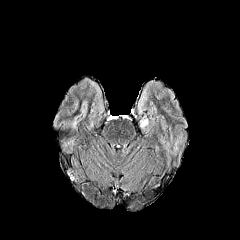
FLAIR MR.
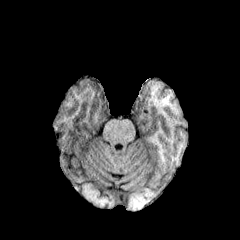
T1-weighted MR of the same slice.
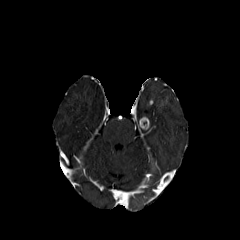
Post-contrast T1-weighted MRI.
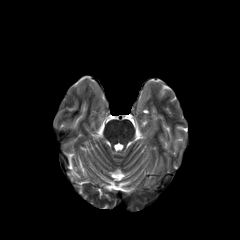
T2-weighted magnetic resonance of the same slice.
Head. Axial slice.
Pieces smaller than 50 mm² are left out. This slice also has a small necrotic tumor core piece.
Segmented structures:
- enhancing tumor: [x1=139, y1=116, x2=149, y2=129]